FLAIR MR.
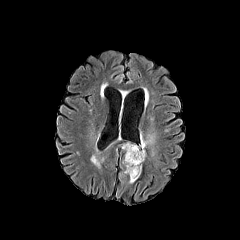
T1-weighted MRI.
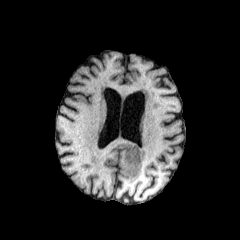
Post-contrast T1-weighted MR.
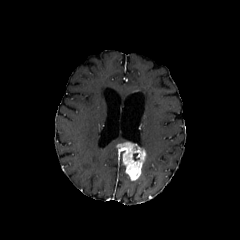
T2-weighted MRI.
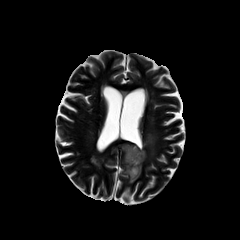
Axial plane
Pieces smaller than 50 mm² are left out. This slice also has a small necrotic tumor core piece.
enhancing tumor: box=[119, 142, 146, 180] | peritumoral edema: box=[141, 134, 154, 148]